240x240 px
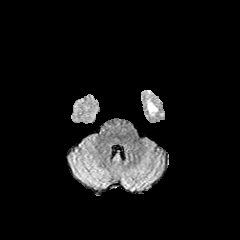
FLAIR MR image.
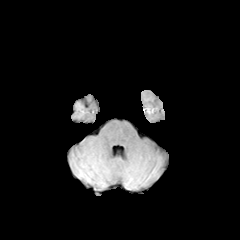
T1-weighted magnetic resonance.
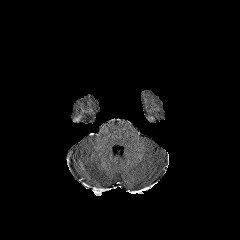
Post-contrast T1-weighted MRI.
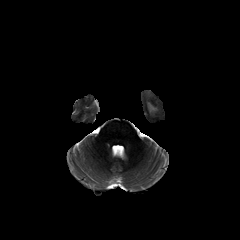
T2-weighted MR image.
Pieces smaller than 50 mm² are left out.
- peritumoral edema: [147, 99, 158, 115]